Axial plane, 240x240 px, Head
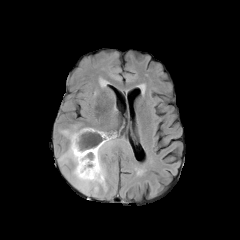
FLAIR MR.
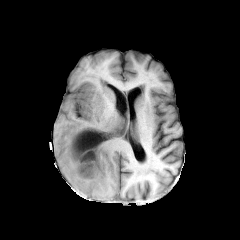
T1-weighted magnetic resonance.
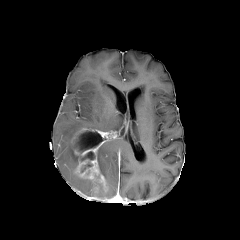
Same slice, post-contrast T1-weighted MRI.
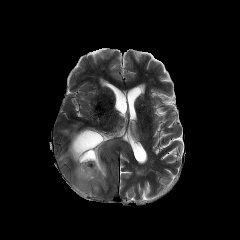
T2-weighted MR of the same slice.
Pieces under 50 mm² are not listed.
<segmentation>
  <necrotic_tumor_core>x1=80, y1=151, x2=94, y2=161; x1=73, y1=130, x2=101, y2=152</necrotic_tumor_core>
  <peritumoral_edema>x1=97, y1=140, x2=115, y2=179; x1=59, y1=130, x2=103, y2=195</peritumoral_edema>
  <enhancing_tumor>x1=72, y1=128, x2=108, y2=190</enhancing_tumor>
</segmentation>